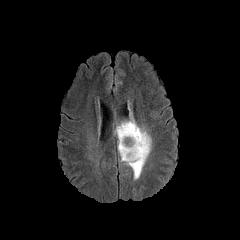
FLAIR MR.
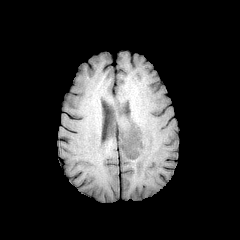
T1-weighted MRI.
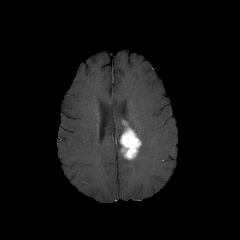
Same slice, post-contrast T1-weighted MR image.
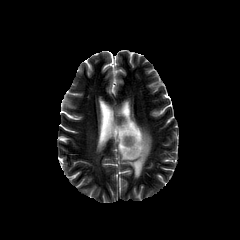
T2-weighted MR image.
Image size 240x240, Brain
<segmentation>
  <peritumoral_edema>[114, 121, 124, 151], [119, 112, 151, 179]</peritumoral_edema>
  <enhancing_tumor>[119, 120, 141, 160]</enhancing_tumor>
</segmentation>